Head.
FLAIR MR image.
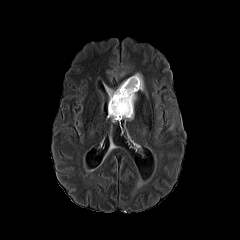
T1-weighted MR.
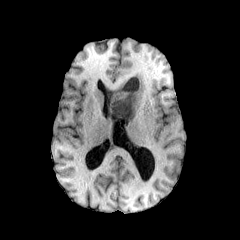
Post-contrast T1-weighted magnetic resonance.
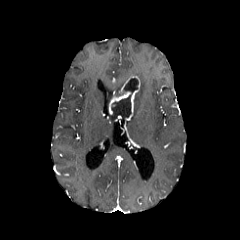
T2-weighted MR.
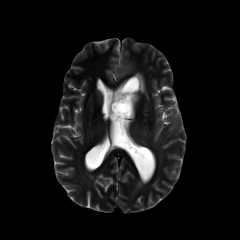
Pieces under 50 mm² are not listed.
<segmentation>
  <enhancing_tumor>x1=109 y1=76 x2=140 y2=120</enhancing_tumor>
  <peritumoral_edema>x1=105 y1=85 x2=112 y2=98, x1=167 y1=119 x2=174 y2=130, x1=134 y1=73 x2=144 y2=91</peritumoral_edema>
  <necrotic_tumor_core>x1=110 y1=78 x2=138 y2=121</necrotic_tumor_core>
</segmentation>